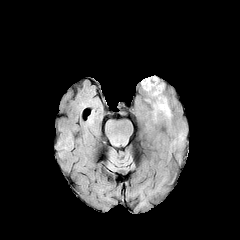
FLAIR MR image.
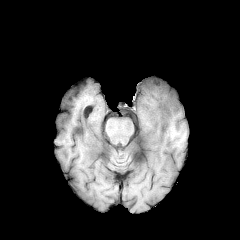
Same slice, T1-weighted MR image.
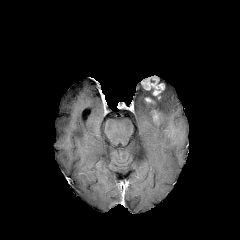
Post-contrast T1-weighted MR.
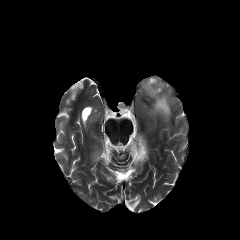
T2-weighted MRI.
Brain
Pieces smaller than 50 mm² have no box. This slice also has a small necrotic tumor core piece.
<segmentation>
  <peritumoral_edema>[x1=146, y1=90, x2=171, y2=119]</peritumoral_edema>
  <enhancing_tumor>[x1=141, y1=76, x2=164, y2=95]</enhancing_tumor>
</segmentation>